Axial plane; Slice 99/155; Head
FLAIR MR.
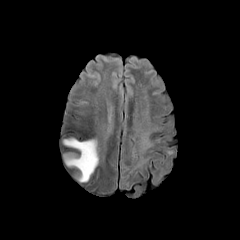
T1-weighted MRI.
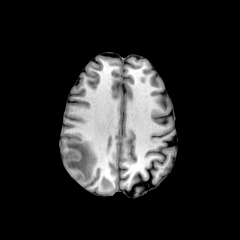
Post-contrast T1-weighted MR.
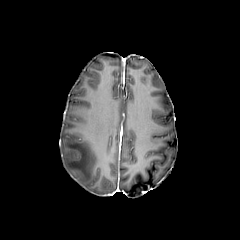
T2-weighted magnetic resonance.
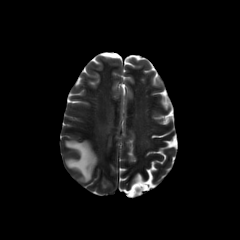
peritumoral edema — rect(64, 138, 98, 181)